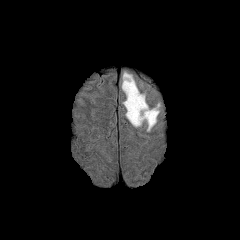
FLAIR MRI.
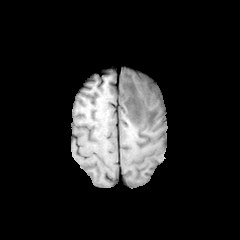
T1-weighted MRI.
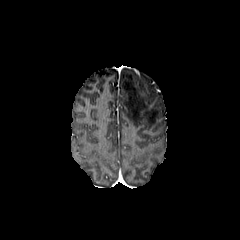
Same slice, post-contrast T1-weighted MR.
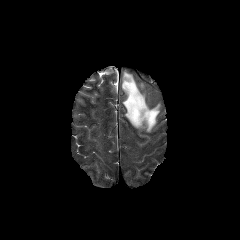
Same slice, T2-weighted MR image.
peritumoral edema = [121, 72, 159, 131]